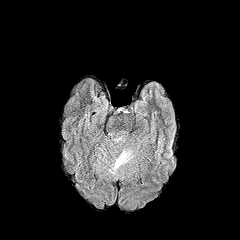
FLAIR magnetic resonance.
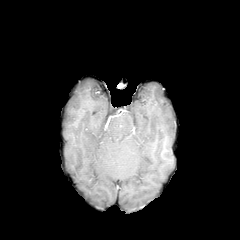
T1-weighted MR image of the same slice.
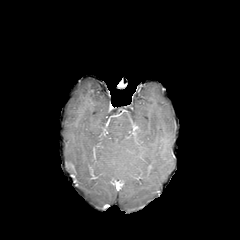
Post-contrast T1-weighted magnetic resonance.
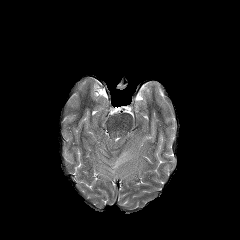
T2-weighted magnetic resonance of the same slice.
Head
<segmentation>
  <peritumoral_edema><bbox>109, 149, 133, 174</bbox></peritumoral_edema>
</segmentation>